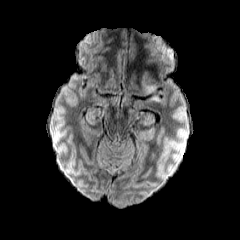
FLAIR magnetic resonance.
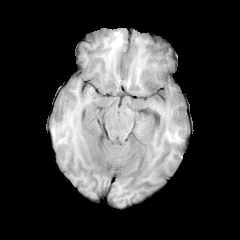
T1-weighted MR image.
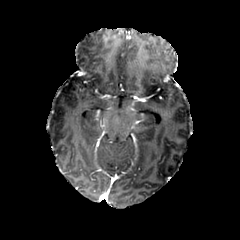
Post-contrast T1-weighted MRI.
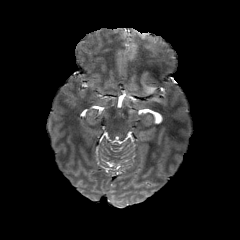
T2-weighted MR image.
Axial plane, Head
Annotated regions:
- peritumoral edema: (left=142, top=70, right=164, bottom=101)